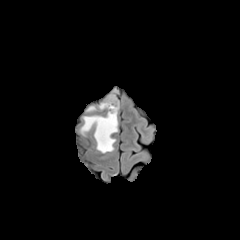
FLAIR magnetic resonance.
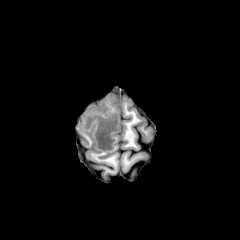
Same slice, T1-weighted MR.
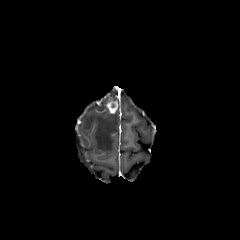
Post-contrast T1-weighted MR of the same slice.
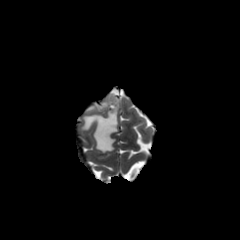
Same slice, T2-weighted MR image.
Head
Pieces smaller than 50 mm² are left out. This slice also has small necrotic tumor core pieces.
The 2 largest peritumoral edema regions are bounded by {"x1": 98, "y1": 99, "x2": 107, "y2": 109}, {"x1": 82, "y1": 110, "x2": 117, "y2": 153}. The largest enhancing tumor region lies within {"x1": 106, "y1": 95, "x2": 118, "y2": 113}.